FLAIR MRI.
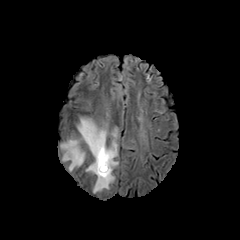
T1-weighted MRI.
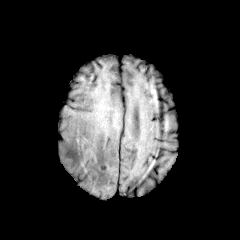
Post-contrast T1-weighted MR image.
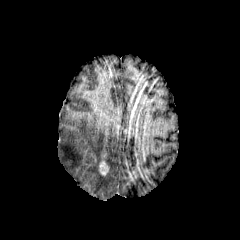
T2-weighted MR image.
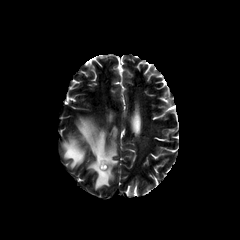
Axial plane. Brain.
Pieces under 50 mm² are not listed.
peritumoral edema — (60, 117, 118, 192)
enhancing tumor — (99, 159, 108, 175)